Head; Axial plane
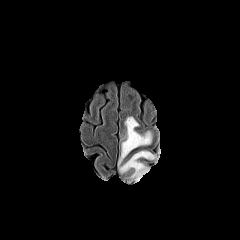
FLAIR magnetic resonance.
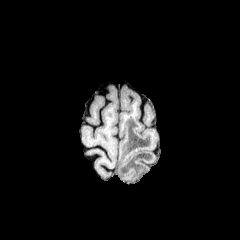
T1-weighted magnetic resonance of the same slice.
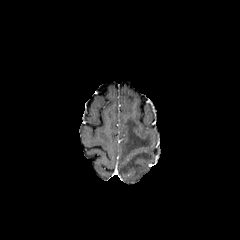
Post-contrast T1-weighted magnetic resonance.
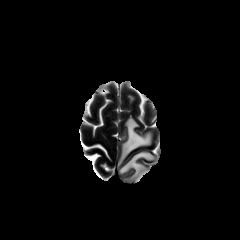
T2-weighted magnetic resonance of the same slice.
peritumoral edema: 118:116:154:182